Head. Axial plane. Image size 240x240.
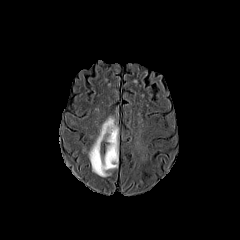
FLAIR MRI.
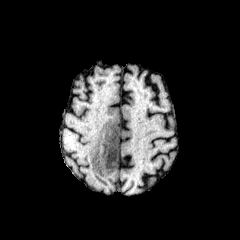
Same slice, T1-weighted MR.
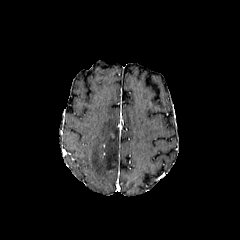
Post-contrast T1-weighted MRI of the same slice.
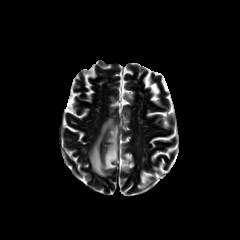
T2-weighted magnetic resonance of the same slice.
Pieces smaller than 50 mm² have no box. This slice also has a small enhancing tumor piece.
{
  "peritumoral_edema": [
    "[x1=89, y1=116, x2=118, y2=176]"
  ]
}